FLAIR MR image.
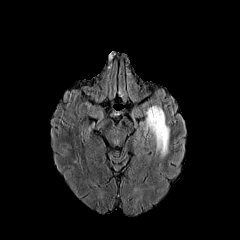
T1-weighted MR.
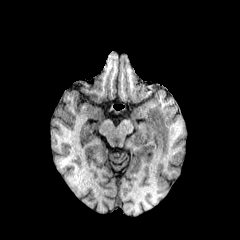
Post-contrast T1-weighted MR.
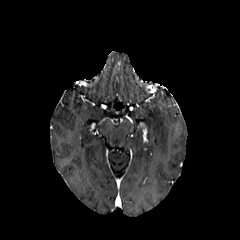
T2-weighted MR.
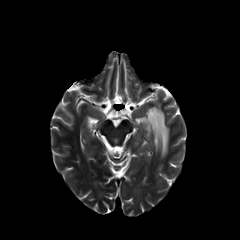
Head; Axial plane
peritumoral edema = (144, 106, 169, 157)